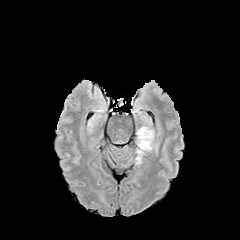
FLAIR MR.
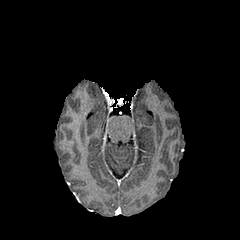
T1-weighted MR image of the same slice.
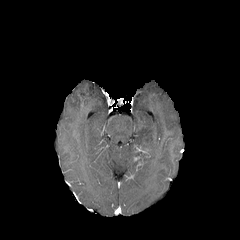
Post-contrast T1-weighted MR image.
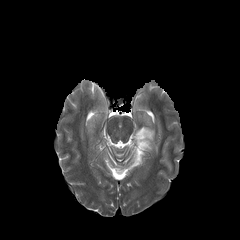
T2-weighted magnetic resonance.
Axial slice | 240x240 px
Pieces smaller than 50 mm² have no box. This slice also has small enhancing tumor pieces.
peritumoral edema at box=[135, 126, 154, 164]